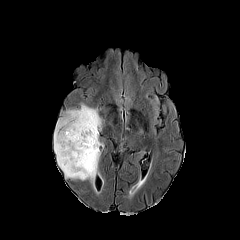
FLAIR MR image.
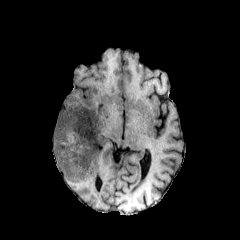
T1-weighted MRI of the same slice.
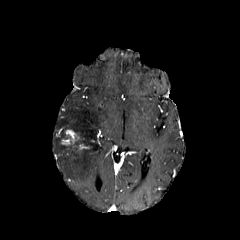
Post-contrast T1-weighted MRI of the same slice.
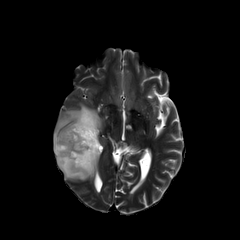
T2-weighted MR.
Head | 240x240
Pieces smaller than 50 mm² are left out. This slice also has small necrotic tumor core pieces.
The largest peritumoral edema region is bounded by 54 104 102 180. 2 enhancing tumor regions appear at 78 143 89 150, 61 130 80 145.